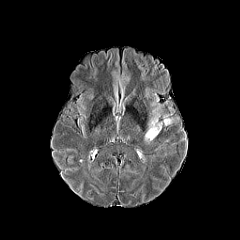
FLAIR MR image.
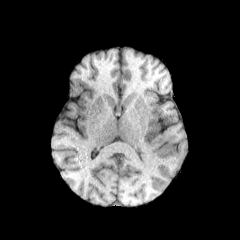
T1-weighted MR of the same slice.
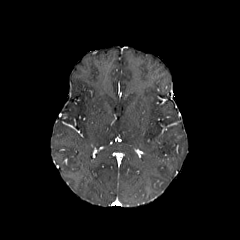
Post-contrast T1-weighted MR of the same slice.
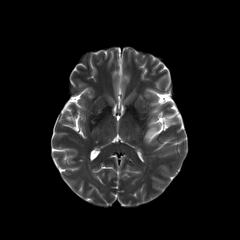
T2-weighted MR image.
Axial view, 240x240
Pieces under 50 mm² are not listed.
The largest peritumoral edema region is located at 145:118:160:140.